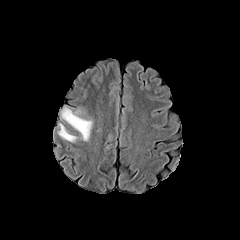
FLAIR MR image.
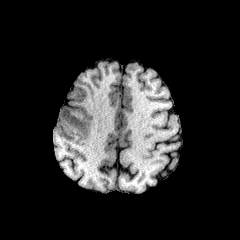
T1-weighted MR image of the same slice.
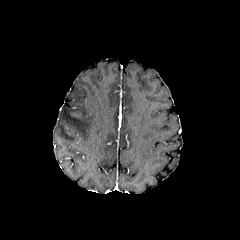
Post-contrast T1-weighted MR of the same slice.
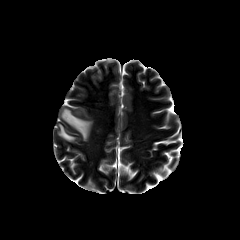
T2-weighted MRI.
Axial plane
<segmentation>
  <peritumoral_edema>(x1=60, y1=107, x2=92, y2=141), (x1=58, y1=124, x2=76, y2=141)</peritumoral_edema>
</segmentation>